Image width 240 mm, 1.00 mm slice spacing | Head | Slice 87 of 155 | Image size 240x240
FLAIR MR.
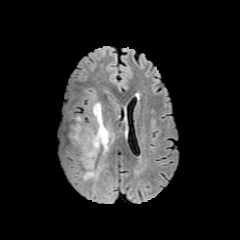
T1-weighted MRI.
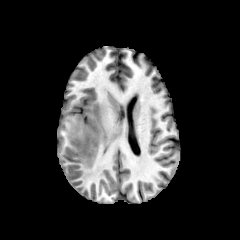
Post-contrast T1-weighted MRI.
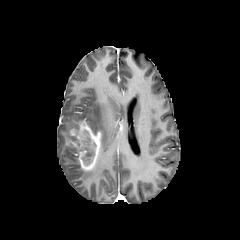
T2-weighted MR.
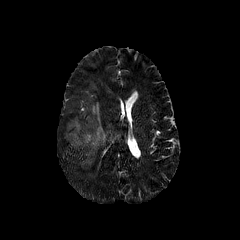
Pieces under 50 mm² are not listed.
The largest necrotic tumor core region is bounded by bbox(82, 143, 94, 164). The enhancing tumor is at bbox(71, 121, 101, 170). The largest peritumoral edema region is located at bbox(84, 102, 114, 179).